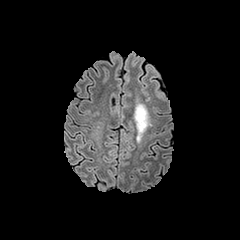
FLAIR magnetic resonance.
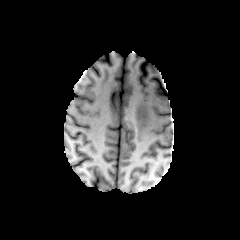
T1-weighted MR image of the same slice.
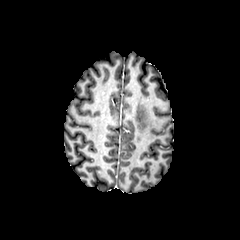
Post-contrast T1-weighted MR.
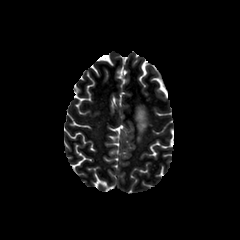
Same slice, T2-weighted MRI.
Brain
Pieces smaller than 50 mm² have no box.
The largest peritumoral edema region is located at <box>136,104,147,139</box>.